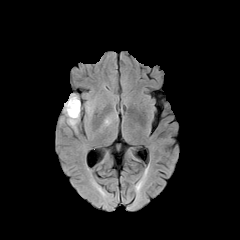
FLAIR MRI.
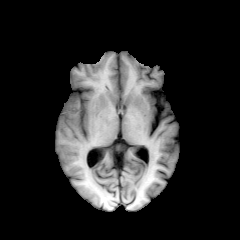
Same slice, T1-weighted MR.
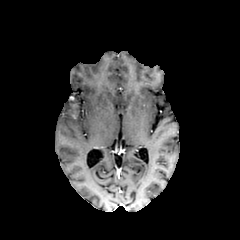
Same slice, post-contrast T1-weighted magnetic resonance.
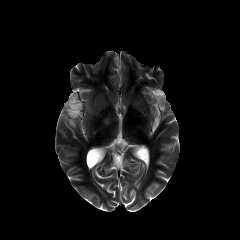
T2-weighted MR image.
Brain.
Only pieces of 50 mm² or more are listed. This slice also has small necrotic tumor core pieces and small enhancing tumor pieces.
Findings:
- peritumoral edema: {"x1": 64, "y1": 94, "x2": 80, "y2": 127}